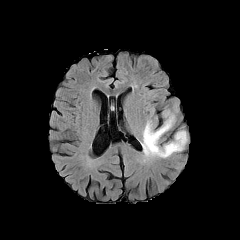
FLAIR MR image.
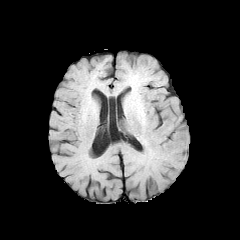
T1-weighted MRI.
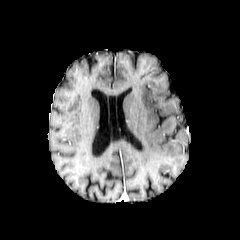
Post-contrast T1-weighted MRI.
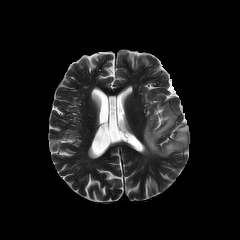
Same slice, T2-weighted magnetic resonance.
Brain
<segmentation>
  <peritumoral_edema>box(142, 111, 186, 157)</peritumoral_edema>
</segmentation>